Brain
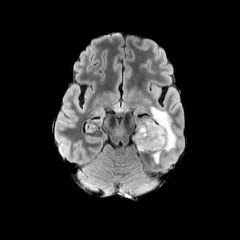
FLAIR MR.
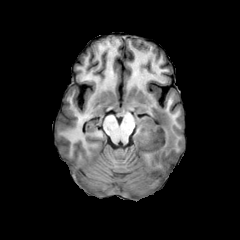
T1-weighted MR.
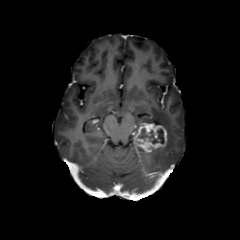
Post-contrast T1-weighted magnetic resonance of the same slice.
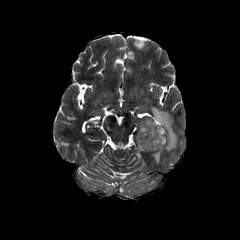
T2-weighted magnetic resonance.
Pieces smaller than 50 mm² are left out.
necrotic_tumor_core:
  - 157, 128, 164, 143
  - 138, 128, 158, 143
peritumoral_edema:
  - 132, 107, 177, 163
enhancing_tumor:
  - 134, 123, 167, 152